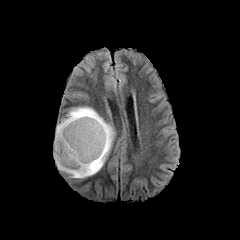
FLAIR magnetic resonance.
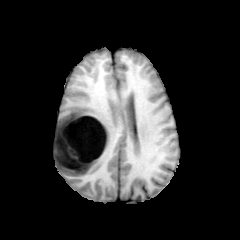
T1-weighted magnetic resonance.
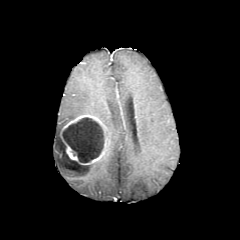
Same slice, post-contrast T1-weighted MRI.
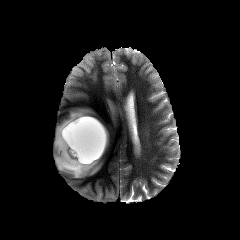
Same slice, T2-weighted MR image.
The enhancing tumor lies within (60, 114, 108, 164). The necrotic tumor core is bounded by (62, 117, 104, 163). The peritumoral edema appears at (53, 106, 114, 178).